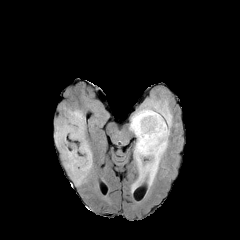
FLAIR MRI.
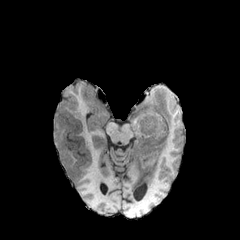
Same slice, T1-weighted magnetic resonance.
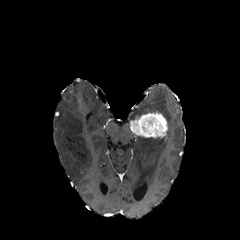
Post-contrast T1-weighted MR image of the same slice.
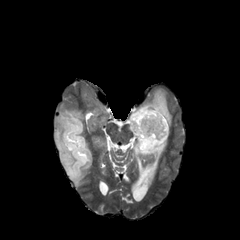
T2-weighted MR.
Axial slice, Head, 240x240
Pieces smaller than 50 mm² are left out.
enhancing tumor = [130,111,167,138]
peritumoral edema = [54,102,92,185], [131,90,172,190]